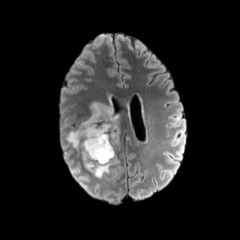
FLAIR MRI.
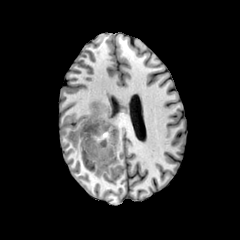
T1-weighted MRI.
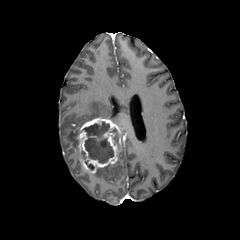
Post-contrast T1-weighted magnetic resonance.
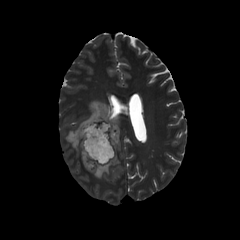
T2-weighted MR.
240x240 px; Head
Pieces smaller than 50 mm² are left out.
2 peritumoral edema regions appear at l=66, t=102, r=118, b=149; l=94, t=160, r=118, b=178. The largest enhancing tumor region appears at l=76, t=117, r=121, b=173. The 2 largest necrotic tumor core regions appear at l=83, t=121, r=113, b=163; l=110, t=128, r=118, b=143.